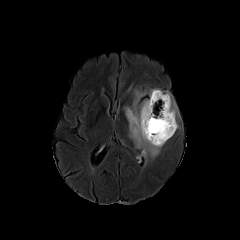
FLAIR MRI.
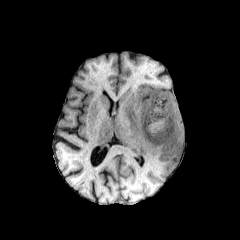
T1-weighted MR image of the same slice.
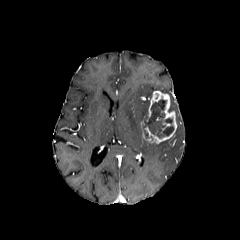
Post-contrast T1-weighted magnetic resonance.
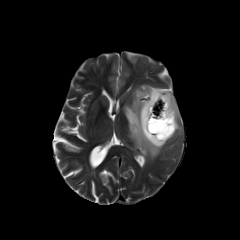
T2-weighted magnetic resonance of the same slice.
240x240 px | Axial view
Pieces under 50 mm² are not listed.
The 2 largest peritumoral edema regions are bounded by <box>161,91,179,121</box>, <box>124,88,166,158</box>. The largest necrotic tumor core region appears at <box>143,99,173,137</box>. The largest enhancing tumor region appears at <box>140,90,177,144</box>.